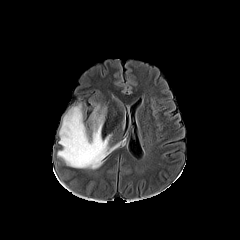
FLAIR MR.
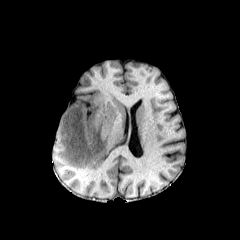
T1-weighted MRI.
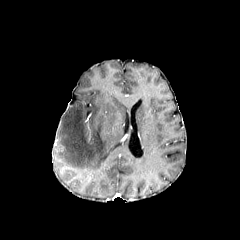
Post-contrast T1-weighted MR.
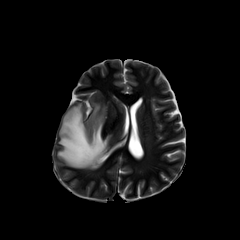
T2-weighted MR of the same slice.
peritumoral edema = x1=57, y1=103, x2=119, y2=169